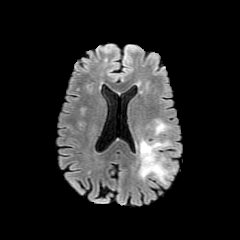
FLAIR MR.
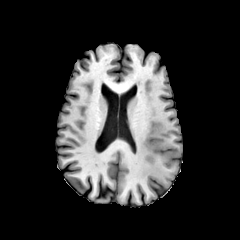
T1-weighted magnetic resonance of the same slice.
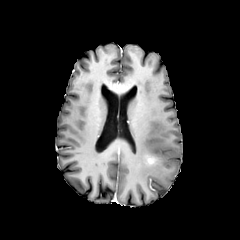
Same slice, post-contrast T1-weighted MR image.
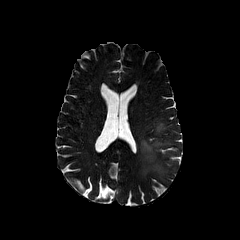
T2-weighted MR of the same slice.
Brain
<segmentation>
  <peritumoral_edema>bbox=[156, 123, 165, 133]; bbox=[139, 139, 168, 181]</peritumoral_edema>
  <enhancing_tumor>bbox=[145, 155, 156, 164]</enhancing_tumor>
</segmentation>